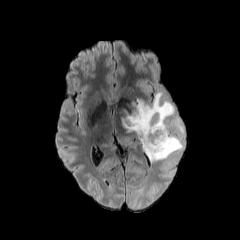
FLAIR magnetic resonance.
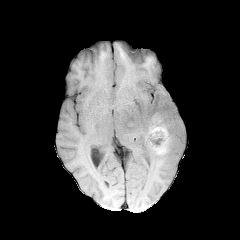
T1-weighted MR.
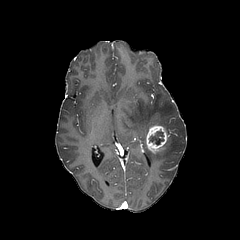
Same slice, post-contrast T1-weighted magnetic resonance.
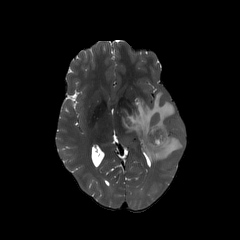
T2-weighted MR of the same slice.
Head
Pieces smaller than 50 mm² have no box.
peritumoral edema = [123,92,184,162]
enhancing tumor = [145,125,169,153]
necrotic tumor core = [149,130,163,144]